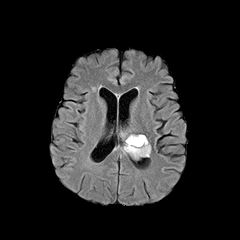
FLAIR magnetic resonance.
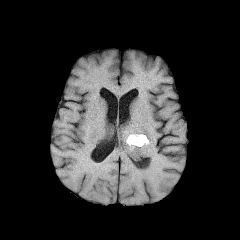
T1-weighted MRI.
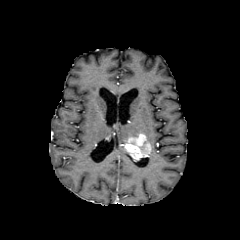
Post-contrast T1-weighted MR of the same slice.
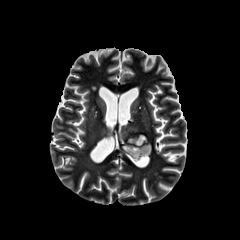
T2-weighted MR.
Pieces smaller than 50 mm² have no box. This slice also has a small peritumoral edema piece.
The enhancing tumor lies within (123,139,151,157).